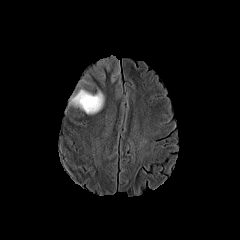
FLAIR MR image.
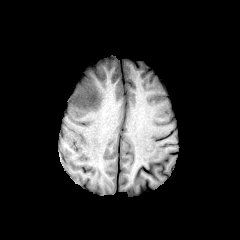
Same slice, T1-weighted MR.
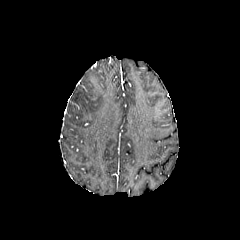
Same slice, post-contrast T1-weighted MRI.
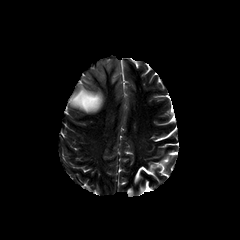
T2-weighted magnetic resonance of the same slice.
Brain
peritumoral edema — 69,56,121,114